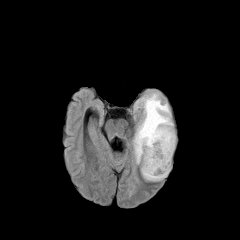
FLAIR magnetic resonance.
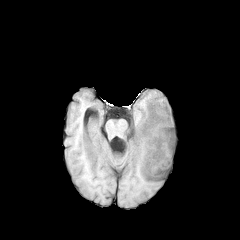
Same slice, T1-weighted MRI.
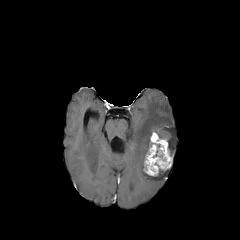
Post-contrast T1-weighted MR of the same slice.
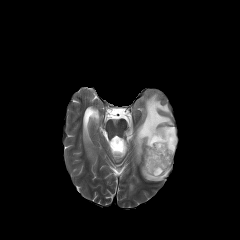
Same slice, T2-weighted magnetic resonance.
Head
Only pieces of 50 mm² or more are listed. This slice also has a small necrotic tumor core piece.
<segmentation>
  <peritumoral_edema>133, 93, 176, 180</peritumoral_edema>
  <enhancing_tumor>143, 129, 172, 176</enhancing_tumor>
</segmentation>